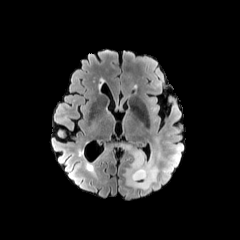
FLAIR MRI.
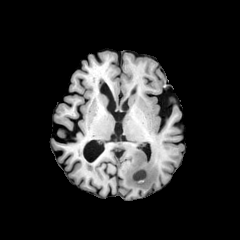
T1-weighted MRI.
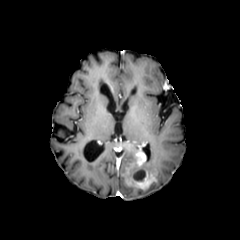
Same slice, post-contrast T1-weighted MR image.
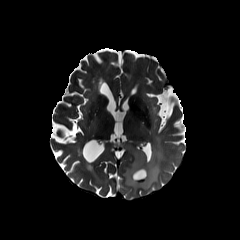
Same slice, T2-weighted MR image.
Axial plane
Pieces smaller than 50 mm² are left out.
Segmented structures:
- enhancing tumor: <box>116,143,156,189</box>
- peritumoral edema: <box>123,141,161,194</box>
- necrotic tumor core: <box>133,168,145,181</box>